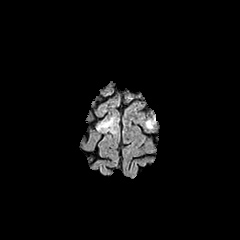
FLAIR MRI.
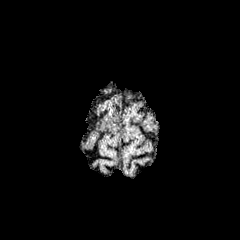
T1-weighted magnetic resonance of the same slice.
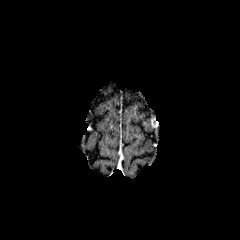
Post-contrast T1-weighted MR image of the same slice.
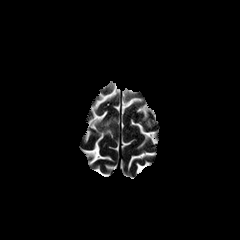
T2-weighted MRI.
Axial slice | Head | 240x240
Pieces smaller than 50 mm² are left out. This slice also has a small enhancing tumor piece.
{"peritumoral_edema": ["97:117:115:133", "145:119:152:128"]}